FLAIR magnetic resonance.
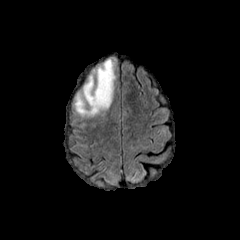
T1-weighted MR image.
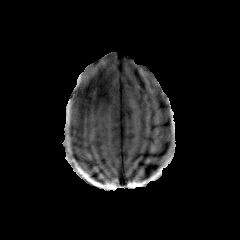
Post-contrast T1-weighted MR.
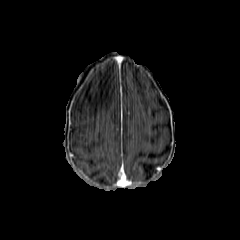
T2-weighted MR image.
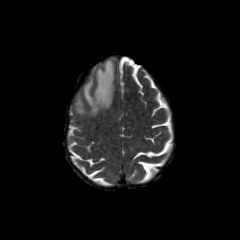
240x240 px, Head, Axial slice
peritumoral edema: {"x1": 74, "y1": 58, "x2": 115, "y2": 117}